Axial plane | Image width 240 mm, 1.00 mm slice spacing | Head | Slice 72 of 155
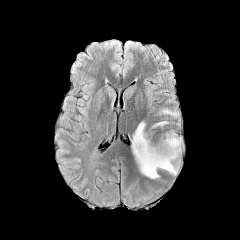
FLAIR MRI.
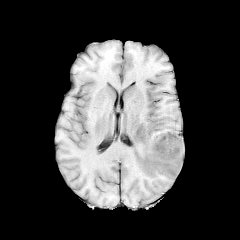
T1-weighted MR image of the same slice.
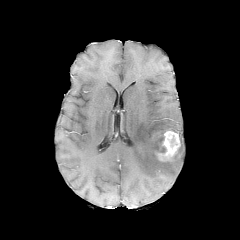
Post-contrast T1-weighted MR of the same slice.
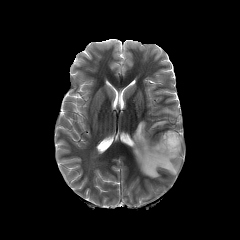
T2-weighted magnetic resonance of the same slice.
<segmentation>
  <enhancing_tumor>rect(156, 131, 180, 161)</enhancing_tumor>
  <peritumoral_edema>rect(131, 121, 182, 178); rect(152, 121, 167, 128); rect(160, 108, 178, 117)</peritumoral_edema>
</segmentation>